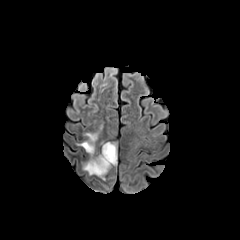
FLAIR MR.
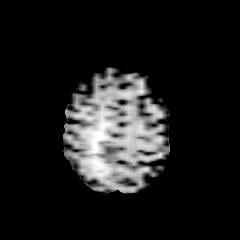
T1-weighted MR image.
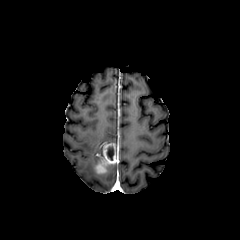
Post-contrast T1-weighted magnetic resonance.
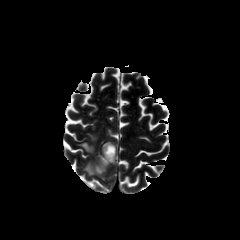
Same slice, T2-weighted MR image.
Brain
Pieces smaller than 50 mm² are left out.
enhancing tumor: bbox=[95, 143, 117, 175]
peritumoral edema: bbox=[83, 158, 104, 179]; bbox=[77, 133, 97, 154]
necrotic tumor core: bbox=[107, 146, 114, 160]